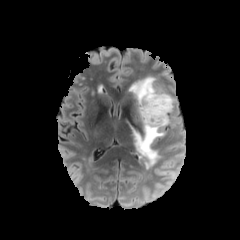
FLAIR MRI.
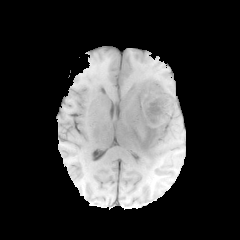
T1-weighted MRI of the same slice.
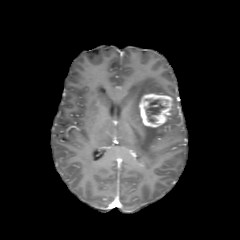
Post-contrast T1-weighted MRI.
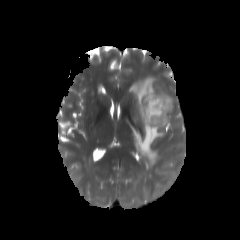
T2-weighted magnetic resonance.
Axial view | Head
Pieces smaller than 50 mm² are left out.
peritumoral edema: bounding box (132,118,169,168), (129,76,169,114)
enhancing tumor: bounding box (139,93,172,127)
necrotic tumor core: bounding box (146,99,165,122)